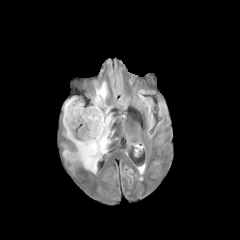
FLAIR MR.
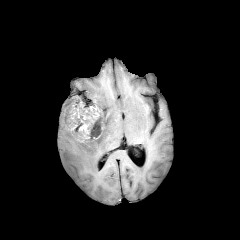
T1-weighted magnetic resonance.
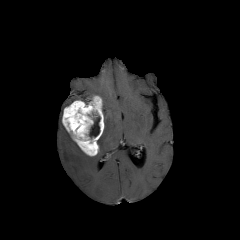
Post-contrast T1-weighted MRI of the same slice.
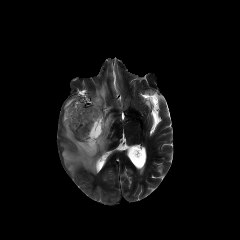
T2-weighted magnetic resonance.
Axial slice. 240x240. Head.
Annotated regions:
- peritumoral edema: (64, 97, 77, 107), (62, 82, 114, 173)
- necrotic tumor core: (89, 116, 100, 137)
- enhancing tumor: (62, 95, 104, 156)